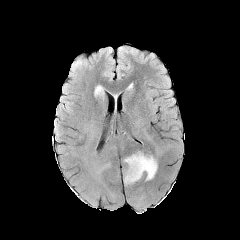
FLAIR MR image.
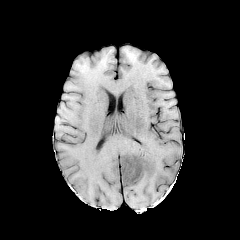
Same slice, T1-weighted magnetic resonance.
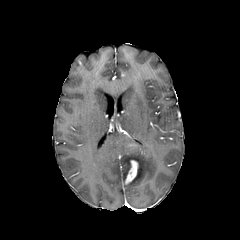
Post-contrast T1-weighted magnetic resonance.
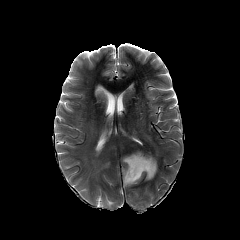
Same slice, T2-weighted MR.
Brain; Axial plane
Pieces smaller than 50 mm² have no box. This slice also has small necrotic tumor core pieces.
The peritumoral edema lies within [x1=123, y1=152, x2=157, y2=184]. The largest enhancing tumor region is bounded by [x1=125, y1=160, x2=138, y2=184].